FLAIR MRI.
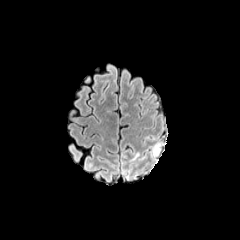
T1-weighted MR image.
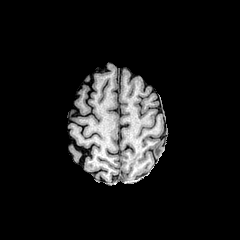
Post-contrast T1-weighted MR image.
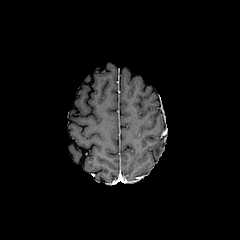
T2-weighted MRI.
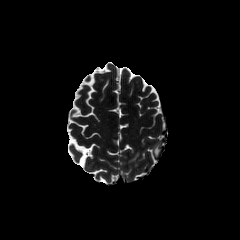
Head
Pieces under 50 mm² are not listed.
<segmentation>
  <peritumoral_edema>(x1=154, y1=145, x2=160, y2=155)</peritumoral_edema>
</segmentation>